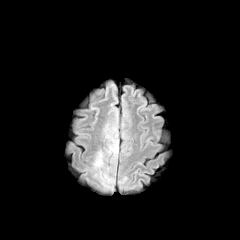
FLAIR MR image.
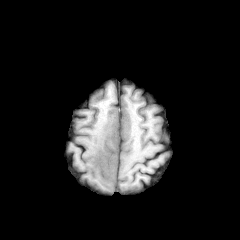
Same slice, T1-weighted MR image.
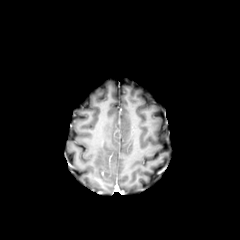
Post-contrast T1-weighted magnetic resonance of the same slice.
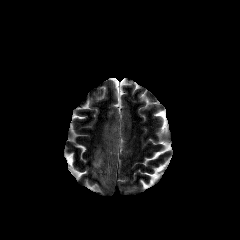
Same slice, T2-weighted MR image.
Head, Axial slice
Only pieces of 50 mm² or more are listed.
The 3 largest peritumoral edema regions appear at rect(100, 171, 112, 186); rect(93, 150, 103, 168); rect(105, 124, 118, 155).